FLAIR MRI.
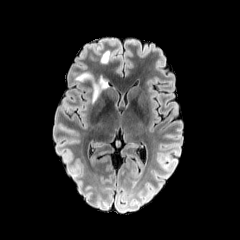
T1-weighted magnetic resonance.
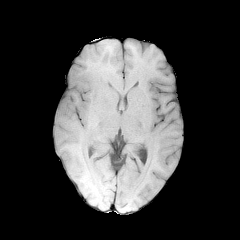
Post-contrast T1-weighted magnetic resonance.
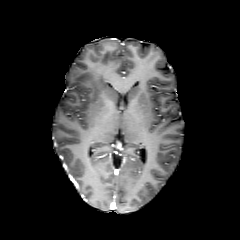
T2-weighted MR.
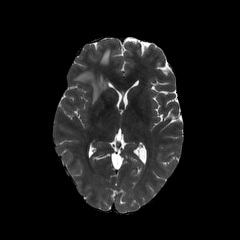
Brain. Axial slice.
Findings:
- peritumoral edema: 74,72,108,103; 101,51,109,63